Axial slice | Head
FLAIR MR image.
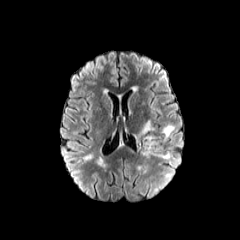
T1-weighted magnetic resonance.
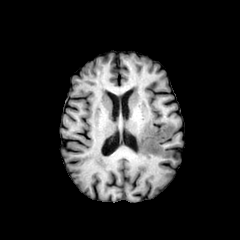
Post-contrast T1-weighted MR image.
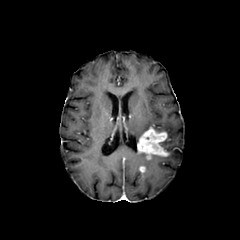
T2-weighted MR image.
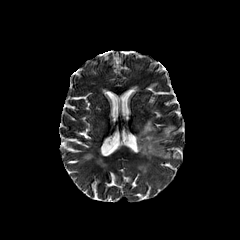
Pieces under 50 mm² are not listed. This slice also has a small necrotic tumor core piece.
{
  "peritumoral_edema": [
    "[158,153,173,159]",
    "[162,122,175,138]",
    "[135,120,152,142]"
  ],
  "enhancing_tumor": [
    "[137,127,169,159]"
  ]
}